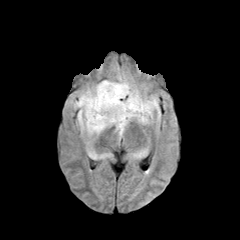
FLAIR magnetic resonance.
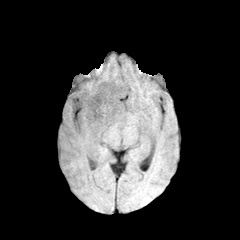
T1-weighted MR.
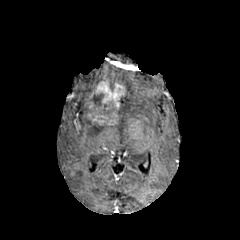
Post-contrast T1-weighted MR image of the same slice.
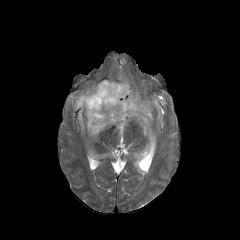
Same slice, T2-weighted MR.
Axial plane, Brain
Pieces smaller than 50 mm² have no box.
The 2 largest necrotic tumor core regions are bounded by box(91, 93, 103, 107); box(99, 104, 115, 119). The enhancing tumor is at box(87, 81, 125, 125). 4 peritumoral edema regions appear at box(71, 85, 112, 136); box(103, 72, 160, 138); box(87, 149, 106, 158); box(133, 150, 144, 157).